Slice index 97; Axial view; Brain
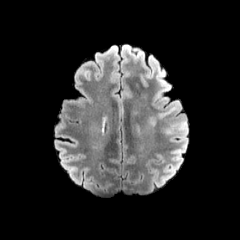
FLAIR MR image.
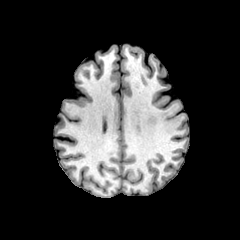
Same slice, T1-weighted MR.
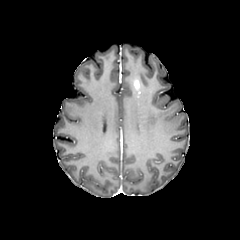
Post-contrast T1-weighted MR.
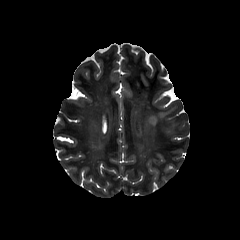
T2-weighted MR.
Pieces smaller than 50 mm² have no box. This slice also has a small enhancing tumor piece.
The largest peritumoral edema region appears at <box>150,107,175,124</box>.